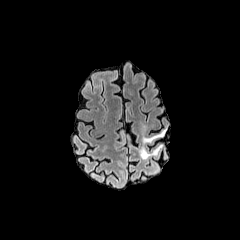
FLAIR magnetic resonance.
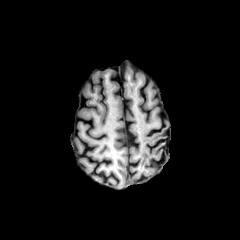
T1-weighted MRI.
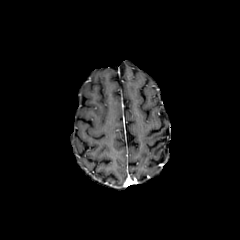
Same slice, post-contrast T1-weighted magnetic resonance.
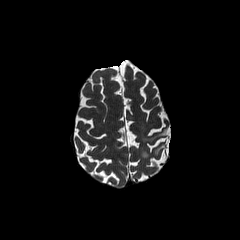
Same slice, T2-weighted MRI.
Segmented structures:
• peritumoral edema: [142, 130, 165, 143], [140, 145, 162, 159]